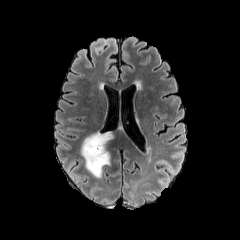
FLAIR magnetic resonance.
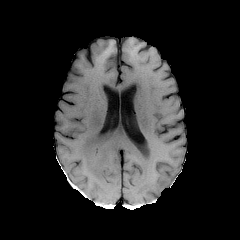
Same slice, T1-weighted MR image.
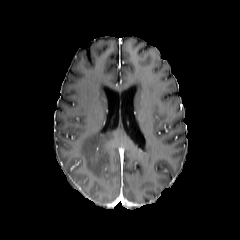
Post-contrast T1-weighted MR image.
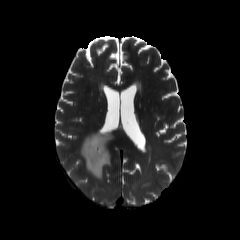
T2-weighted MRI.
Axial view, Brain
{
  "peritumoral_edema": [
    "(80,131,113,178)"
  ]
}